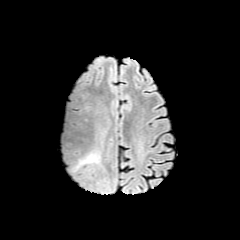
FLAIR MR.
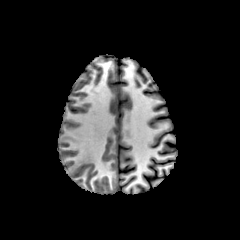
Same slice, T1-weighted MR image.
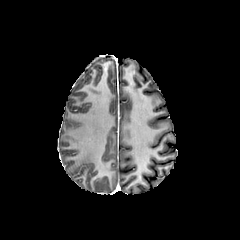
Post-contrast T1-weighted magnetic resonance.
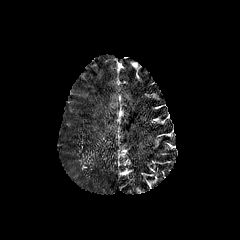
T2-weighted MR image.
Brain; Axial slice
Findings:
- peritumoral edema: (78, 146, 102, 166), (95, 125, 109, 145)